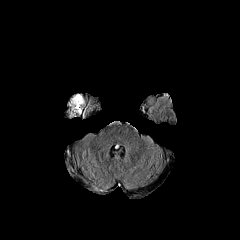
FLAIR MRI.
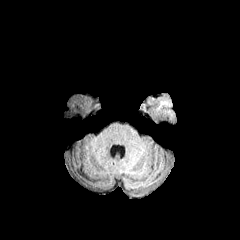
T1-weighted magnetic resonance of the same slice.
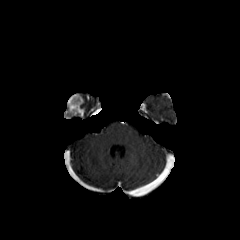
Post-contrast T1-weighted MRI of the same slice.
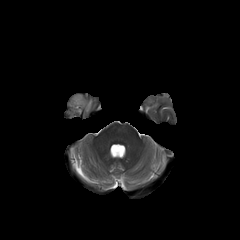
T2-weighted MRI.
Axial view
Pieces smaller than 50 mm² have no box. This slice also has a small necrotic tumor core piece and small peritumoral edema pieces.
{
  "enhancing_tumor": [
    "region(66, 94, 84, 116)"
  ]
}